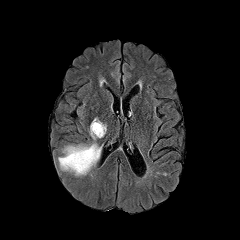
FLAIR MRI.
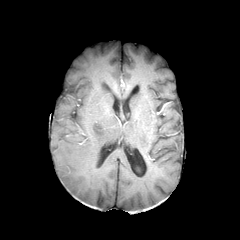
T1-weighted MRI.
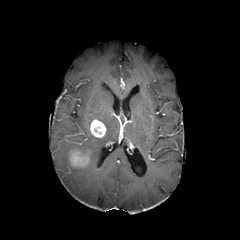
Same slice, post-contrast T1-weighted MRI.
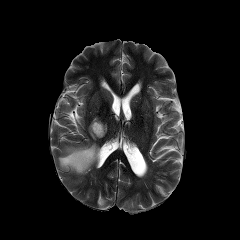
Same slice, T2-weighted MR.
240x240
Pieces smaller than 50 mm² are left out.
2 enhancing tumor regions are bounded by [70,150,89,166], [90,119,106,137]. The largest peritumoral edema region is bounded by [58,128,102,176].